Head
FLAIR magnetic resonance.
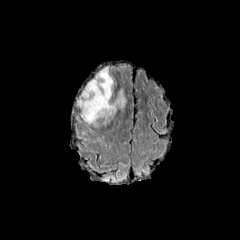
T1-weighted MRI.
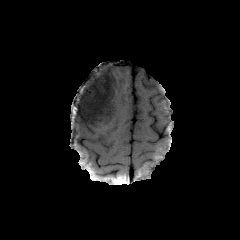
Post-contrast T1-weighted MR image.
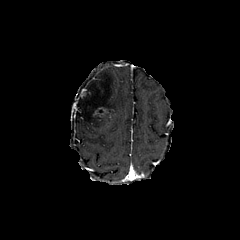
T2-weighted MR.
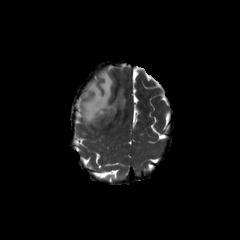
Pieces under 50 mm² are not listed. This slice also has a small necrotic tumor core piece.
enhancing tumor at rect(93, 107, 114, 119)
peritumoral edema at rect(75, 67, 125, 127)